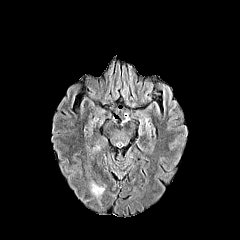
FLAIR MR image.
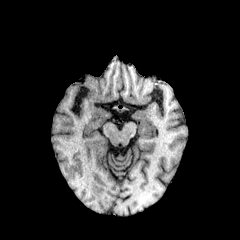
T1-weighted magnetic resonance.
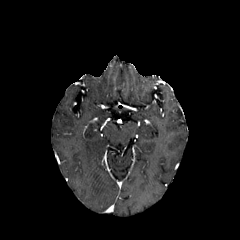
Post-contrast T1-weighted magnetic resonance of the same slice.
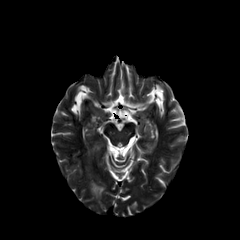
Same slice, T2-weighted MR image.
Image size 240x240. Axial plane. Brain.
peritumoral_edema:
  - x1=89, y1=179, x2=106, y2=198
  - x1=92, y1=143, x2=101, y2=150